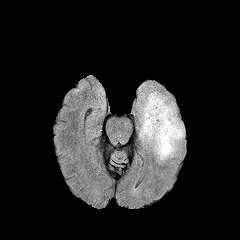
FLAIR MR image.
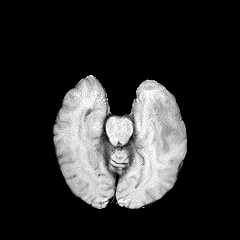
T1-weighted MR.
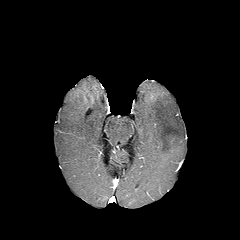
Post-contrast T1-weighted MR of the same slice.
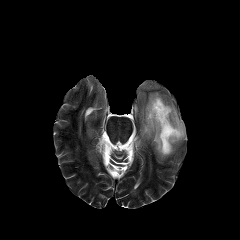
T2-weighted magnetic resonance.
Head
peritumoral edema: left=139, top=91, right=184, bottom=160